Image size 240x240 | Image covers 240 mm x 240 mm
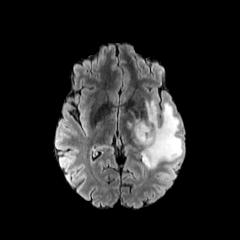
FLAIR MR image.
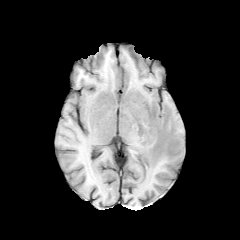
T1-weighted magnetic resonance.
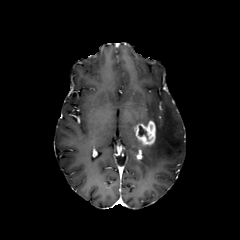
Post-contrast T1-weighted MRI of the same slice.
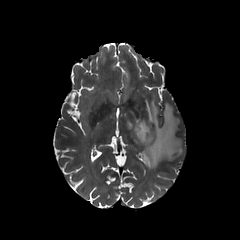
T2-weighted MRI of the same slice.
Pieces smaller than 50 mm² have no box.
{"peritumoral_edema": ["(126,100,182,170)"], "necrotic_tumor_core": ["(138,125,153,141)"], "enhancing_tumor": ["(134,120,156,146)"]}